FLAIR MR.
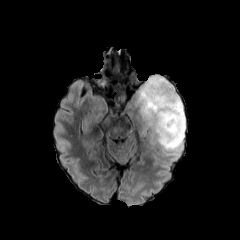
T1-weighted MRI.
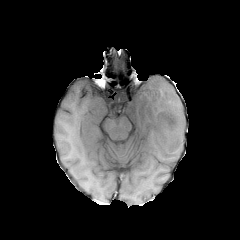
Post-contrast T1-weighted magnetic resonance.
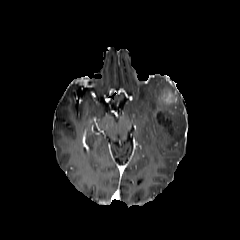
T2-weighted MR.
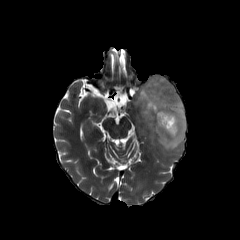
Brain
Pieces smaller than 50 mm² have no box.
peritumoral edema: bbox=[134, 75, 185, 154]
necrotic tumor core: bbox=[156, 111, 173, 134]
enhancing tumor: bbox=[156, 109, 176, 137]; bbox=[160, 93, 174, 103]